FLAIR magnetic resonance.
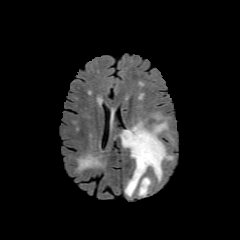
T1-weighted MR image.
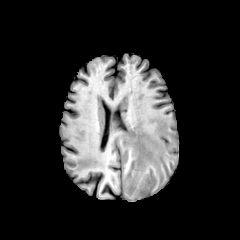
Post-contrast T1-weighted MR.
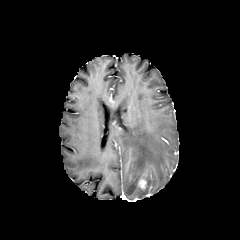
T2-weighted MR image.
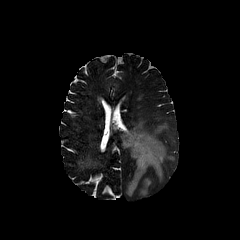
Axial plane
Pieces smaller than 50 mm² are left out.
enhancing tumor — box=[138, 179, 146, 188]
peritumoral edema — box=[120, 120, 173, 196]